Slice index 89, 240x240 px, Head
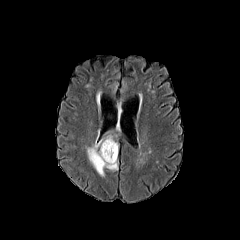
FLAIR MR image.
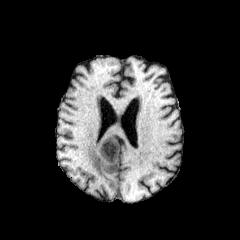
T1-weighted MR image of the same slice.
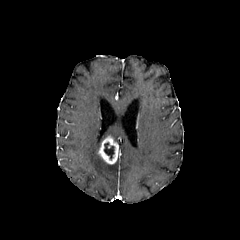
Post-contrast T1-weighted MR of the same slice.
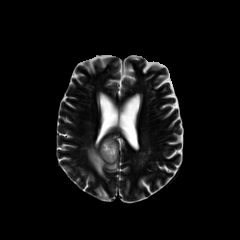
T2-weighted MRI.
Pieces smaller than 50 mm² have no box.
<segmentation>
  <necrotic_tumor_core>x1=104, y1=143, x2=114, y2=159</necrotic_tumor_core>
  <peritumoral_edema>x1=86, y1=136, x2=119, y2=177</peritumoral_edema>
  <enhancing_tumor>x1=98, y1=135, x2=118, y2=164</enhancing_tumor>
</segmentation>